FLAIR MRI.
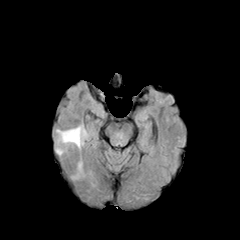
T1-weighted MR image.
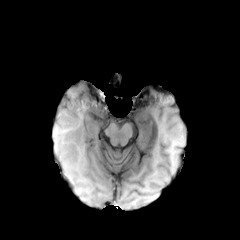
Post-contrast T1-weighted MRI.
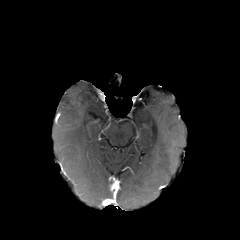
T2-weighted magnetic resonance.
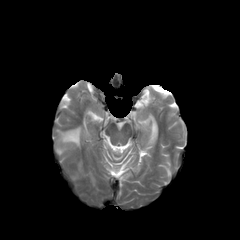
240x240 px | Head
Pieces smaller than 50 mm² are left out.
{"peritumoral_edema": ["[60, 126, 86, 147]"]}